FLAIR magnetic resonance.
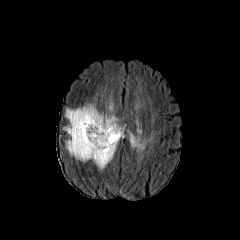
T1-weighted MR image.
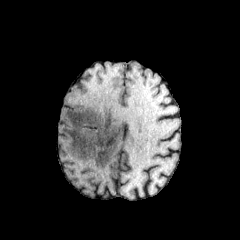
Post-contrast T1-weighted MR image.
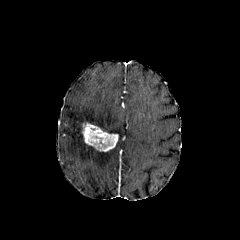
T2-weighted MRI.
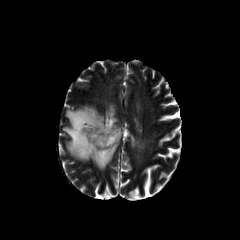
Head
peritumoral edema: (left=136, top=120, right=142, bottom=134), (left=63, top=102, right=127, bottom=172), (left=127, top=129, right=148, bottom=151) | enhancing tumor: (left=82, top=122, right=118, bottom=151)